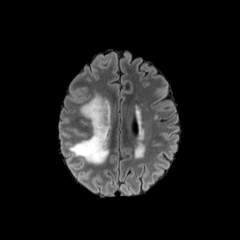
FLAIR MR image.
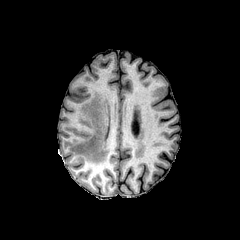
T1-weighted magnetic resonance.
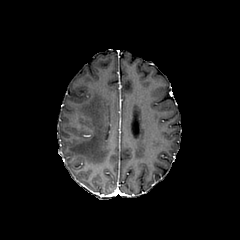
Same slice, post-contrast T1-weighted MR.
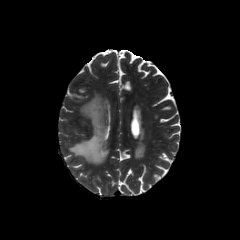
T2-weighted MRI of the same slice.
Axial view. Head.
Findings:
• peritumoral edema: {"x1": 69, "y1": 96, "x2": 111, "y2": 164}